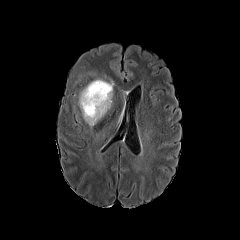
FLAIR MR.
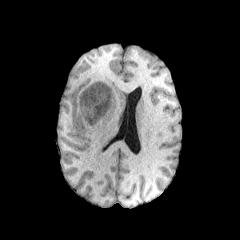
T1-weighted magnetic resonance of the same slice.
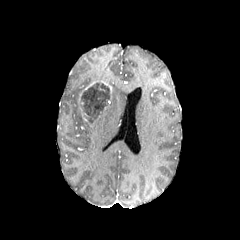
Post-contrast T1-weighted MRI.
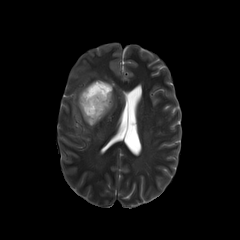
Same slice, T2-weighted MR.
240x240, Head
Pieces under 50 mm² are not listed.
enhancing tumor: <bbox>83, 80, 112, 93</bbox> | necrotic tumor core: <bbox>82, 83, 110, 118</bbox> | peritumoral edema: <bbox>78, 90, 112, 127</bbox>